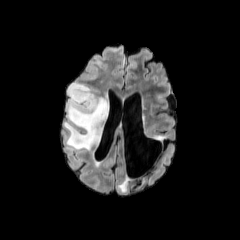
FLAIR magnetic resonance.
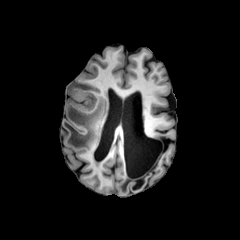
T1-weighted MRI.
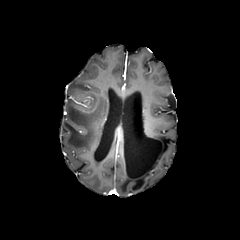
Same slice, post-contrast T1-weighted magnetic resonance.
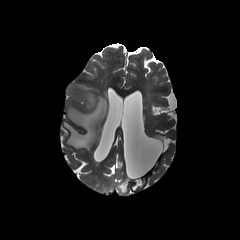
Same slice, T2-weighted MR.
Brain; Axial plane; 240x240
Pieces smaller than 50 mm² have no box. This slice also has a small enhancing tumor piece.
peritumoral edema: bbox=[63, 82, 108, 150]